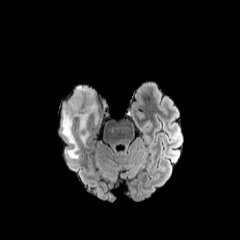
FLAIR magnetic resonance.
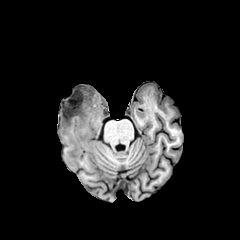
T1-weighted MRI.
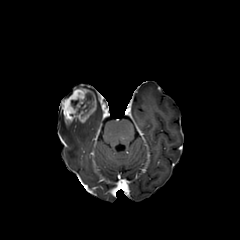
Post-contrast T1-weighted MR image.
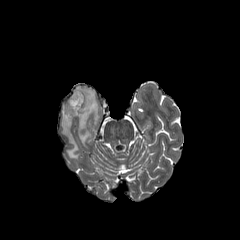
Same slice, T2-weighted MR image.
Head. Axial plane.
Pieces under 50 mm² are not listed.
Annotated regions:
* enhancing tumor: box(61, 87, 96, 125)
* peritumoral edema: box(93, 104, 98, 124); box(61, 111, 78, 159); box(79, 121, 89, 144)
* necrotic tumor core: box(78, 93, 92, 112)